Slice 36 of 155 | 240x240 | Head | Image width 240 mm
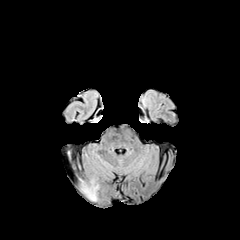
FLAIR MR image.
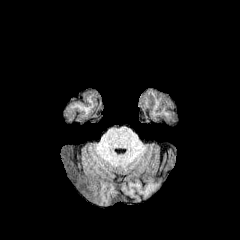
T1-weighted MR.
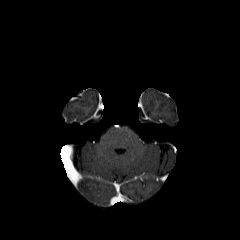
Post-contrast T1-weighted MR image.
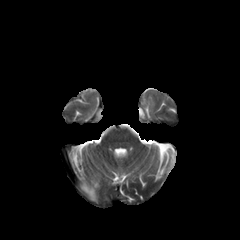
T2-weighted MR image of the same slice.
peritumoral edema — rect(79, 179, 98, 201)